Slice 85 of 155. Head.
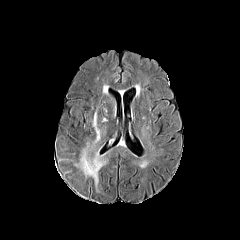
FLAIR magnetic resonance.
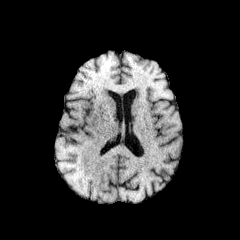
Same slice, T1-weighted MR.
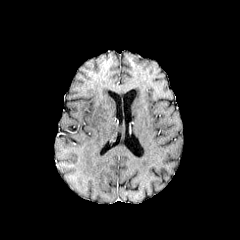
Post-contrast T1-weighted MR.
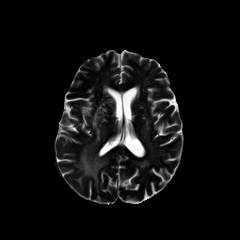
Same slice, T2-weighted MR.
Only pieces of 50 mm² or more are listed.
The 2 largest peritumoral edema regions are bounded by x1=93, y1=111, x2=100, y2=142; x1=79, y1=147, x2=105, y2=186.